Image size 240x240 | Axial plane | Slice 44 of 155
FLAIR MRI.
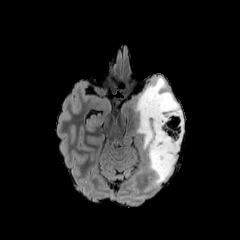
T1-weighted MRI.
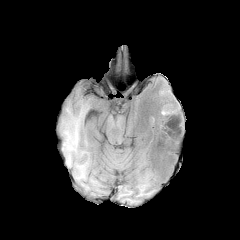
Post-contrast T1-weighted magnetic resonance.
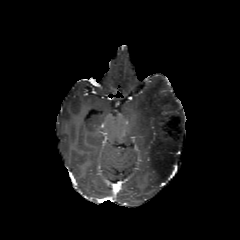
T2-weighted MRI.
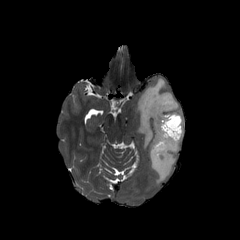
The peritumoral edema is at [135,77,183,184].